Axial view; Head; Slice index 94
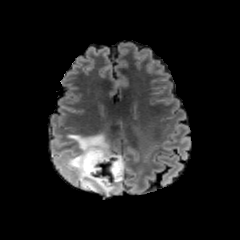
FLAIR MRI.
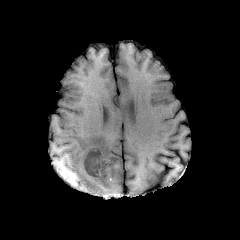
T1-weighted MR image.
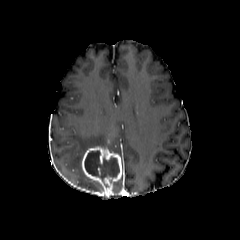
Post-contrast T1-weighted magnetic resonance of the same slice.
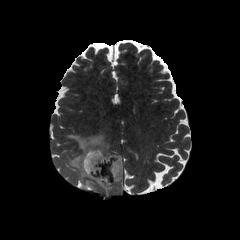
T2-weighted MR image.
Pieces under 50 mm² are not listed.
necrotic tumor core: 84 150 119 181 | enhancing tumor: 81 146 123 192 | peritumoral edema: 66 133 111 191, 113 176 123 191